FLAIR MRI.
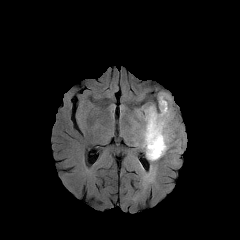
T1-weighted MR image.
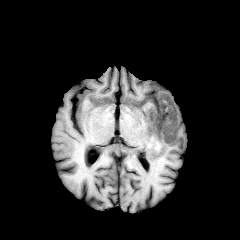
Post-contrast T1-weighted MR image.
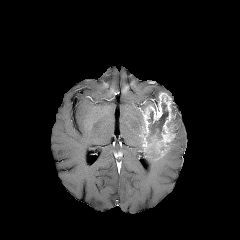
T2-weighted MR image.
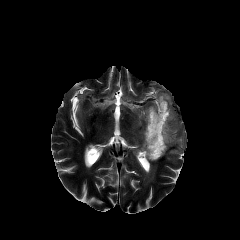
Axial slice, Brain
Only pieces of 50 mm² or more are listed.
<segmentation>
  <peritumoral_edema>box=[169, 98, 180, 150]; box=[135, 93, 158, 149]; box=[144, 152, 160, 180]</peritumoral_edema>
  <necrotic_tumor_core>box=[149, 145, 159, 157]; box=[147, 103, 168, 142]</necrotic_tumor_core>
  <enhancing_tumor>box=[141, 92, 176, 159]</enhancing_tumor>
</segmentation>